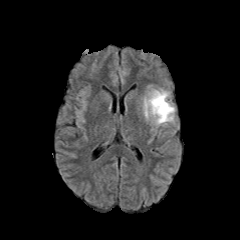
FLAIR magnetic resonance.
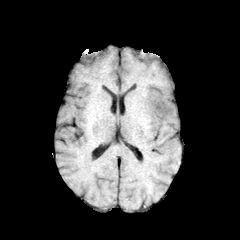
Same slice, T1-weighted MRI.
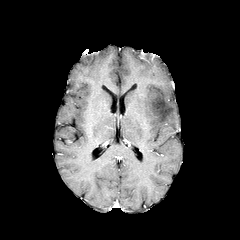
Post-contrast T1-weighted MR.
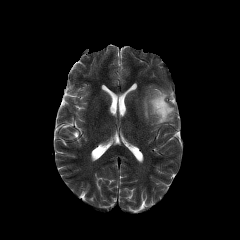
T2-weighted MRI.
240x240 | Brain
peritumoral edema: (x1=143, y1=89, x2=174, y2=125)